Image width 240 mm, 1.00 mm slice spacing, Head, Slice 123/155, 240x240
FLAIR MR image.
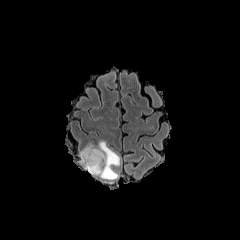
T1-weighted magnetic resonance.
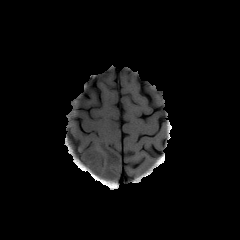
Post-contrast T1-weighted MR.
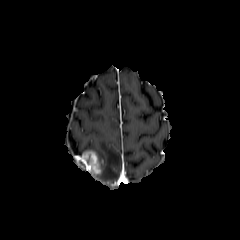
T2-weighted MRI.
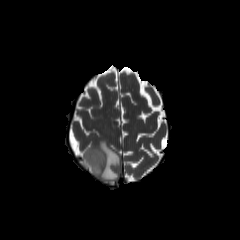
enhancing tumor at l=81, t=150, r=101, b=174
peritumoral edema at l=78, t=140, r=120, b=182